Head
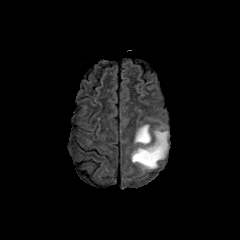
FLAIR magnetic resonance.
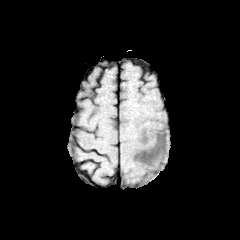
T1-weighted magnetic resonance of the same slice.
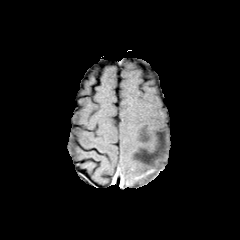
Same slice, post-contrast T1-weighted MR image.
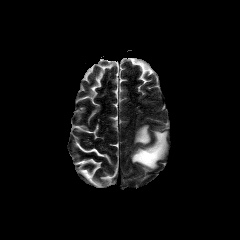
T2-weighted MR image of the same slice.
- peritumoral edema: 131, 124, 168, 169